Head | Slice 91/155 | Image width 240 mm
FLAIR MR image.
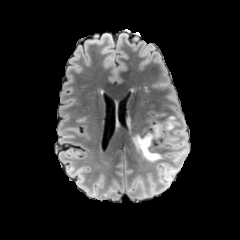
T1-weighted MR image.
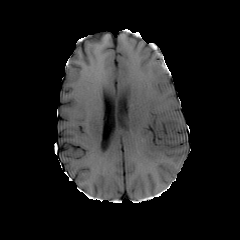
Post-contrast T1-weighted MR.
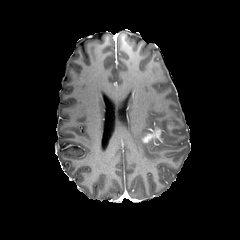
T2-weighted MRI.
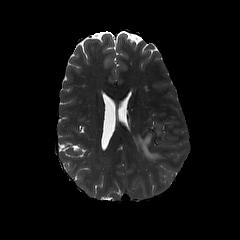
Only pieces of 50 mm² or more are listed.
peritumoral edema: bounding box [164, 116, 177, 129], [133, 135, 162, 161]
enhancing tumor: bounding box [141, 126, 161, 144]